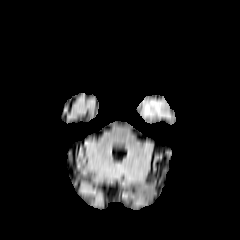
FLAIR MRI.
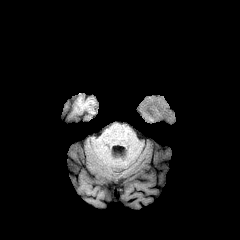
T1-weighted MR of the same slice.
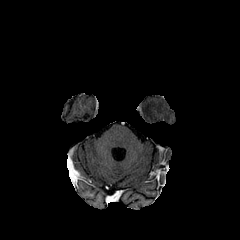
Post-contrast T1-weighted MR image.
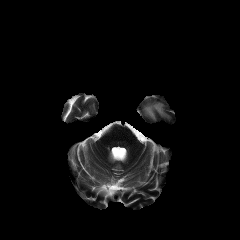
T2-weighted magnetic resonance.
Head
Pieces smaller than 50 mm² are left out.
The largest peritumoral edema region is at [143,101,169,116].